FLAIR MR image.
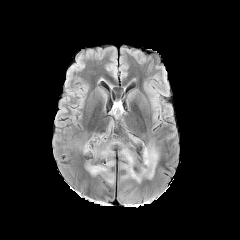
T1-weighted MR.
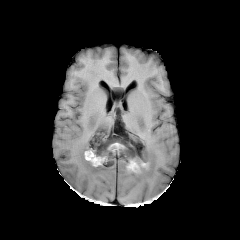
Post-contrast T1-weighted MRI.
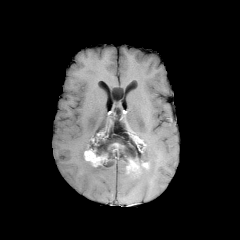
T2-weighted MR.
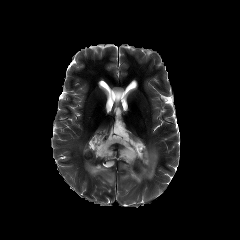
Axial view
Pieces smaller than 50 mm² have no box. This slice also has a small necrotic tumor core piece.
enhancing_tumor:
  - <bbox>84, 145, 107, 166</bbox>
  - <bbox>126, 159, 148, 173</bbox>
peritumoral_edema:
  - <bbox>85, 139, 158, 185</bbox>
  - <bbox>80, 141, 88, 153</bbox>